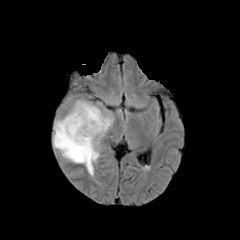
FLAIR MR image.
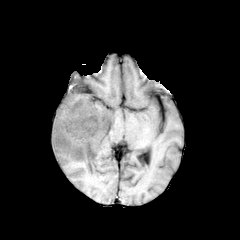
T1-weighted MR.
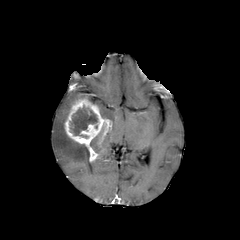
Same slice, post-contrast T1-weighted magnetic resonance.
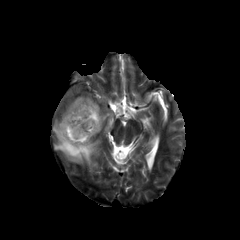
T2-weighted magnetic resonance.
240x240; Axial plane
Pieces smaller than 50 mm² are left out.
The largest necrotic tumor core region appears at 70,107,97,135. The 2 largest peritumoral edema regions are located at 53,102,100,175; 99,107,114,123. The largest enhancing tumor region lies within 64,98,112,162.